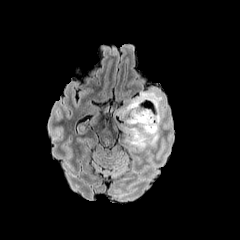
FLAIR MR.
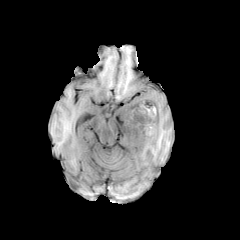
T1-weighted MRI.
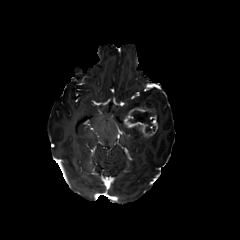
Post-contrast T1-weighted MRI.
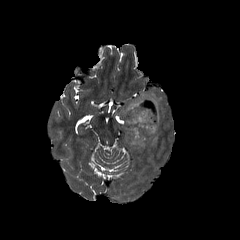
T2-weighted MR.
Axial view
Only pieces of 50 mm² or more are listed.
necrotic tumor core: 130:111:156:133 | enhancing tumor: 123:107:158:139 | peritumoral edema: 119:91:163:150